FLAIR MR image.
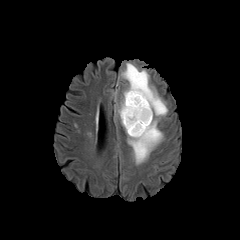
T1-weighted magnetic resonance.
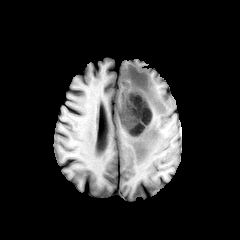
Post-contrast T1-weighted MR image.
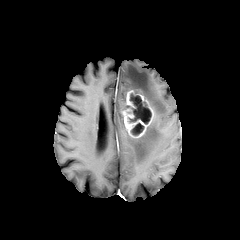
T2-weighted MR.
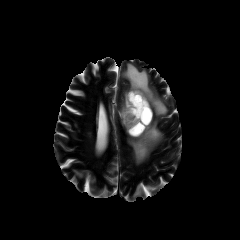
Brain, Image size 240x240, Axial slice
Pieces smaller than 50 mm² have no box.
The enhancing tumor is bounded by [x1=120, y1=90, x2=154, y2=138]. The peritumoral edema is bounded by [x1=116, y1=63, x2=167, y2=164]. The 2 largest necrotic tumor core regions are bounded by [x1=131, y1=123, x2=144, y2=135], [x1=129, y1=93, x2=151, y2=124].